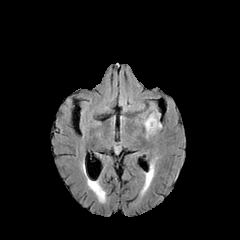
FLAIR magnetic resonance.
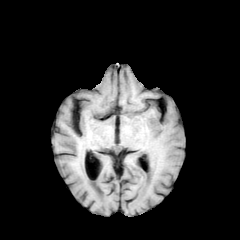
T1-weighted MR.
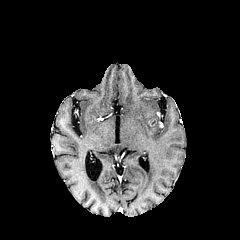
Post-contrast T1-weighted MR.
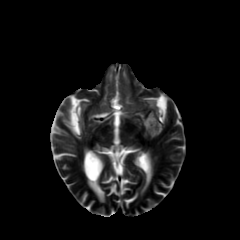
T2-weighted MR image.
Head
Segmented structures:
• peritumoral edema: (left=144, top=114, right=161, bottom=130)